FLAIR MR image.
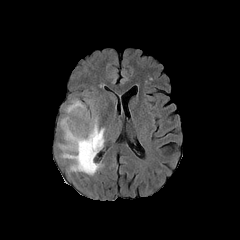
T1-weighted MR.
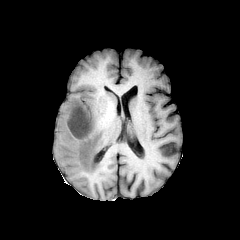
Post-contrast T1-weighted magnetic resonance.
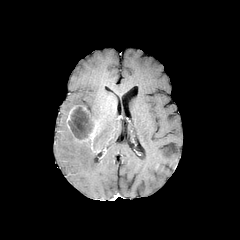
T2-weighted MR.
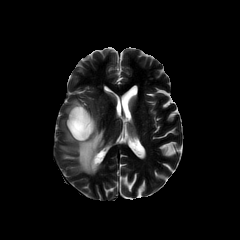
Brain; Axial plane
2 peritumoral edema regions are bounded by 65 99 85 114, 60 113 104 175. The enhancing tumor is bounded by 67 106 95 141. The necrotic tumor core appears at 68 107 92 139.